FLAIR MR image.
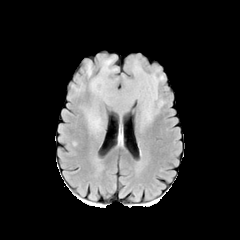
T1-weighted MR image.
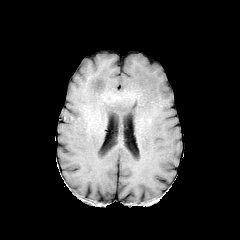
Post-contrast T1-weighted magnetic resonance.
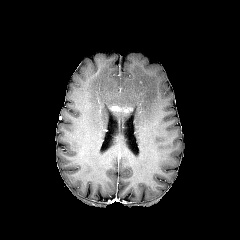
T2-weighted magnetic resonance.
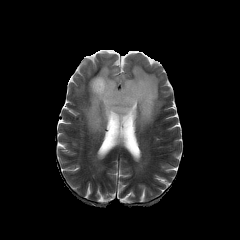
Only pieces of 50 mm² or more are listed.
peritumoral edema: bbox(85, 57, 164, 132); bbox(86, 64, 91, 75)
enhancing tumor: bbox(111, 106, 130, 112)